240x240; Image covers 240 mm x 240 mm
FLAIR MR image.
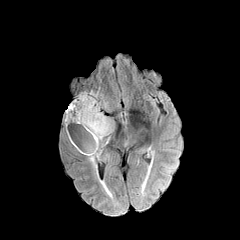
T1-weighted magnetic resonance.
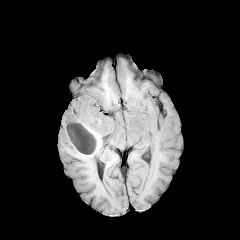
Post-contrast T1-weighted MR.
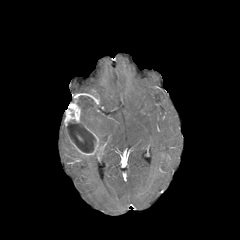
T2-weighted magnetic resonance.
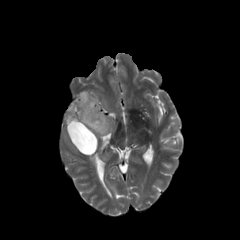
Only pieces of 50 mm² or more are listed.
<segmentation>
  <enhancing_tumor>64:96:99:155</enhancing_tumor>
  <necrotic_tumor_core>67:123:96:152</necrotic_tumor_core>
  <peritumoral_edema>79:92:114:144, 88:150:101:174</peritumoral_edema>
</segmentation>